Axial slice
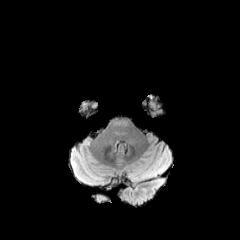
FLAIR MR.
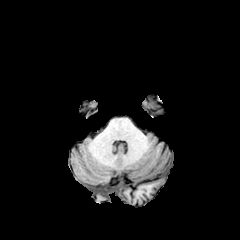
Same slice, T1-weighted magnetic resonance.
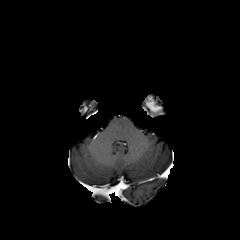
Post-contrast T1-weighted MR.
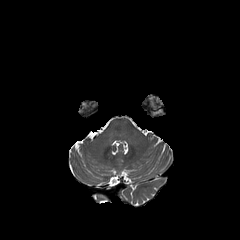
T2-weighted magnetic resonance.
Findings:
- peritumoral edema: x1=144 y1=97 x2=149 y2=111
- enhancing tumor: x1=149 y1=96 x2=162 y2=116